FLAIR MRI.
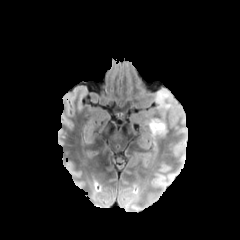
T1-weighted magnetic resonance.
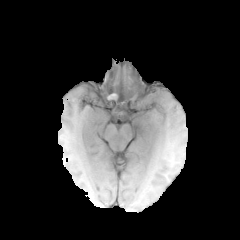
Post-contrast T1-weighted MR.
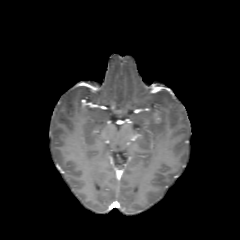
T2-weighted MRI.
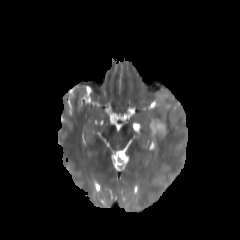
Axial slice, Image size 240x240
peritumoral_edema:
  - (156, 90, 171, 109)
  - (148, 119, 165, 136)